FLAIR MR image.
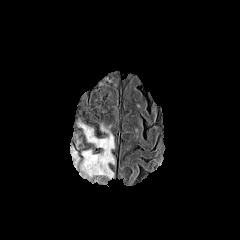
T1-weighted MRI.
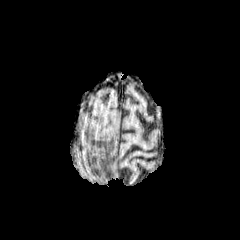
Post-contrast T1-weighted magnetic resonance.
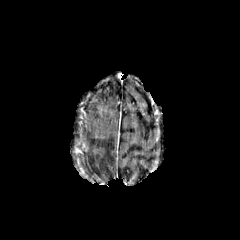
T2-weighted magnetic resonance.
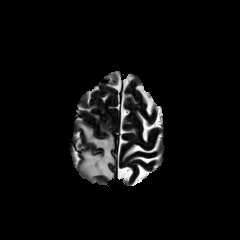
Head
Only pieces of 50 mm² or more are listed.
The largest peritumoral edema region is at l=78, t=122, r=114, b=179.